Image covers 240 mm x 240 mm | Image size 240x240
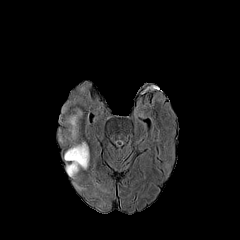
FLAIR MRI.
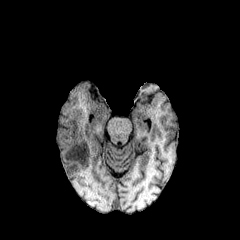
T1-weighted MR image of the same slice.
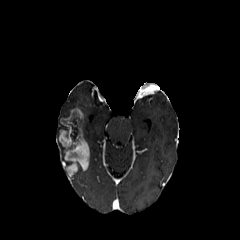
Post-contrast T1-weighted magnetic resonance.
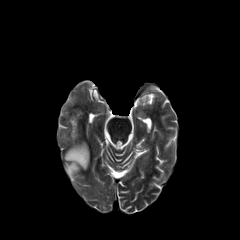
T2-weighted magnetic resonance.
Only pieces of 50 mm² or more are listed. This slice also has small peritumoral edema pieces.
The largest necrotic tumor core region is bounded by x1=70, y1=113, x2=80, y2=140. The largest enhancing tumor region is located at x1=59, y1=108, x2=89, y2=176.